FLAIR magnetic resonance.
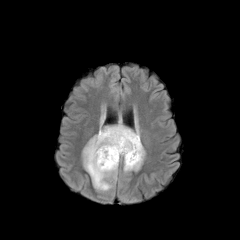
T1-weighted MR image.
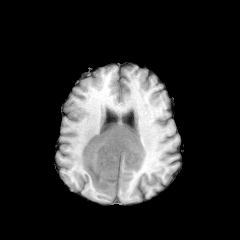
Post-contrast T1-weighted MR image.
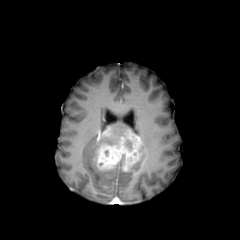
T2-weighted MRI.
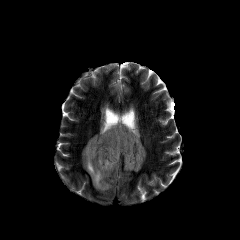
Axial plane.
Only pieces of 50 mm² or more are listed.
* necrotic tumor core: x1=125, y1=140, x2=131, y2=149
* enhancing tumor: x1=97, y1=126, x2=116, y2=141; x1=97, y1=129, x2=141, y2=170
* peritumoral edema: x1=124, y1=145, x2=145, y2=172; x1=82, y1=117, x2=129, y2=191